FLAIR MRI.
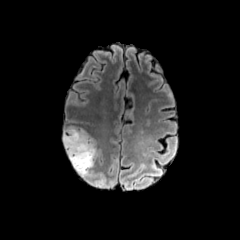
T1-weighted MR.
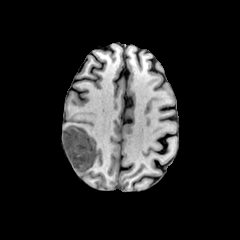
Post-contrast T1-weighted MR.
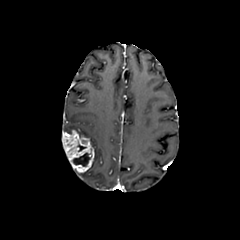
T2-weighted magnetic resonance.
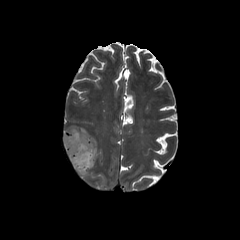
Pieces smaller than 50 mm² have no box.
enhancing tumor at x1=62, y1=130, x2=94, y2=172
necrotic tumor core at x1=72, y1=153, x2=90, y2=166
peritumoral edema at x1=63, y1=126, x2=98, y2=161